FLAIR MR.
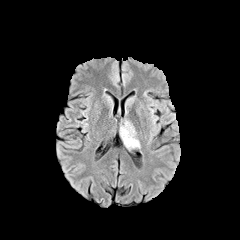
T1-weighted MRI.
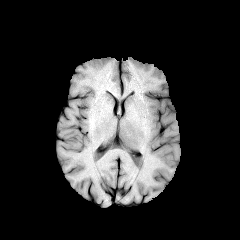
Post-contrast T1-weighted MR.
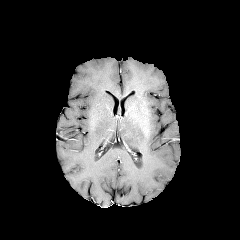
T2-weighted magnetic resonance.
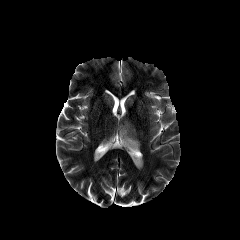
Image size 240x240, Head
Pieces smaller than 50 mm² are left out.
{"peritumoral_edema": ["(x1=120, y1=122, x2=139, y2=148)"]}